FLAIR magnetic resonance.
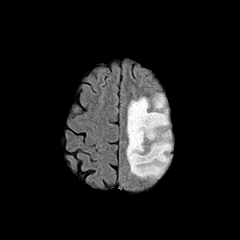
T1-weighted magnetic resonance.
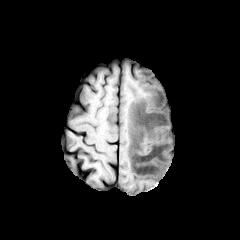
Post-contrast T1-weighted MRI.
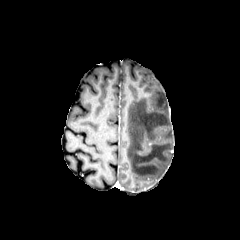
T2-weighted MRI.
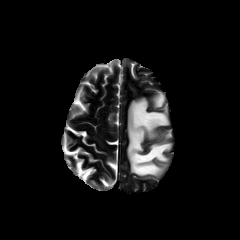
Brain
{
  "peritumoral_edema": [
    "(left=126, top=93, right=172, bottom=178)"
  ]
}